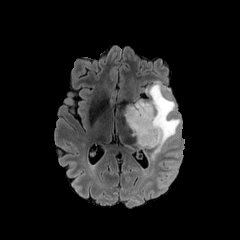
FLAIR MR.
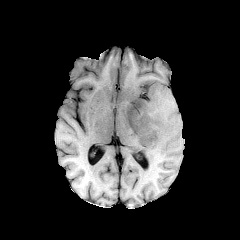
T1-weighted MR.
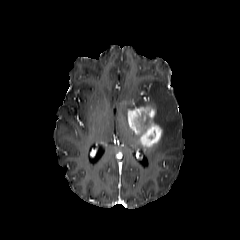
Post-contrast T1-weighted MRI of the same slice.
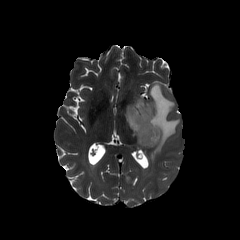
T2-weighted MR image.
Brain.
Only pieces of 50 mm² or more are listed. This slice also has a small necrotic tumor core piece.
{
  "peritumoral_edema": [
    "<bbox>125, 81, 180, 159</bbox>"
  ],
  "enhancing_tumor": [
    "<bbox>127, 104, 163, 147</bbox>"
  ]
}